240x240; Axial plane
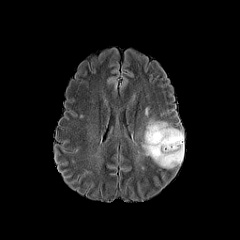
FLAIR MR.
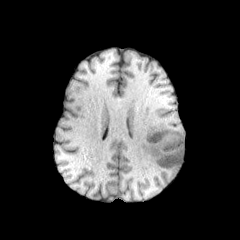
T1-weighted MRI of the same slice.
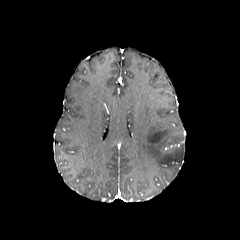
Post-contrast T1-weighted magnetic resonance.
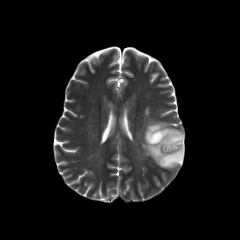
T2-weighted MR image.
peritumoral edema at <bbox>142, 120, 184, 168</bbox>